240x240 px | Slice index 51
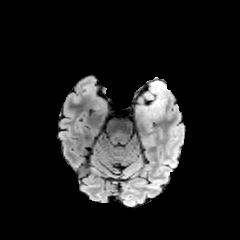
FLAIR MRI.
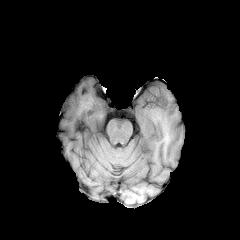
T1-weighted magnetic resonance.
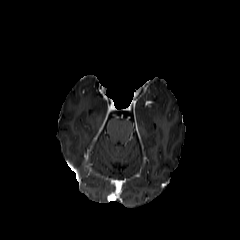
Post-contrast T1-weighted magnetic resonance.
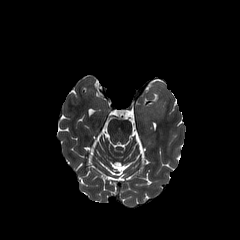
T2-weighted magnetic resonance.
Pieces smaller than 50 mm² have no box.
peritumoral_edema:
  - 137, 81, 168, 118